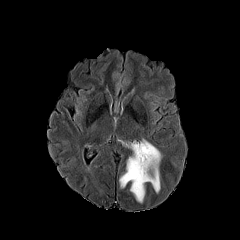
FLAIR magnetic resonance.
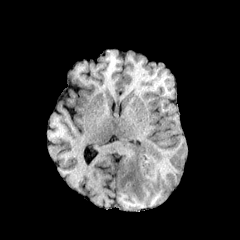
T1-weighted MRI of the same slice.
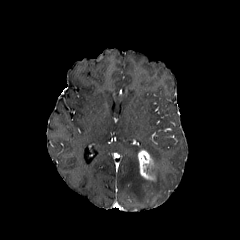
Same slice, post-contrast T1-weighted MR.
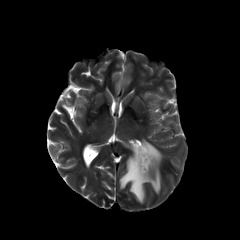
Same slice, T2-weighted MR image.
Axial slice.
{
  "peritumoral_edema": [
    "119 139 161 202"
  ],
  "enhancing_tumor": [
    "137 149 155 180"
  ]
}